Head; Image width 240 mm
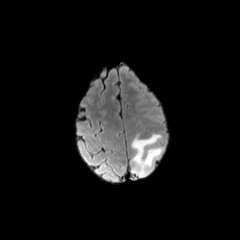
FLAIR MR image.
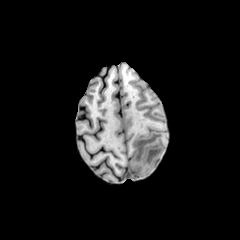
T1-weighted MR of the same slice.
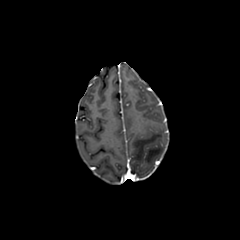
Post-contrast T1-weighted MRI.
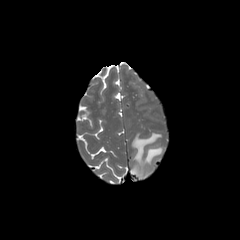
T2-weighted MR image.
peritumoral edema at <bbox>131, 133, 163, 177</bbox>